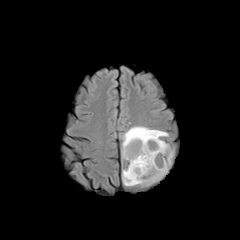
FLAIR magnetic resonance.
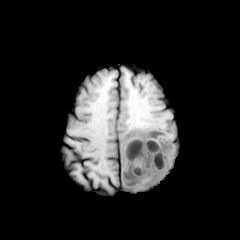
Same slice, T1-weighted MR.
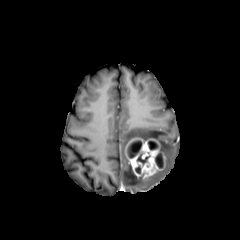
Post-contrast T1-weighted MR image.
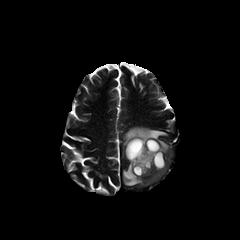
T2-weighted MRI of the same slice.
Axial view, Brain
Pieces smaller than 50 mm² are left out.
{
  "peritumoral_edema": [
    "(122,126,173,186)"
  ],
  "necrotic_tumor_core": [
    "(131,140,142,153)",
    "(155,154,162,168)",
    "(148,140,156,150)",
    "(137,153,149,164)"
  ],
  "enhancing_tumor": [
    "(126,138,165,177)"
  ]
}